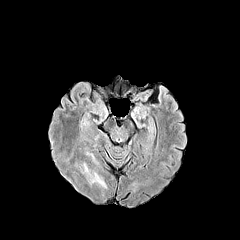
FLAIR MR.
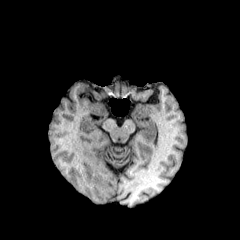
Same slice, T1-weighted MR image.
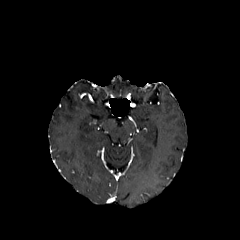
Same slice, post-contrast T1-weighted MR image.
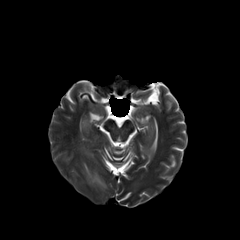
T2-weighted MRI.
Head
peritumoral edema: bounding box region(86, 152, 99, 164); region(80, 162, 107, 188)